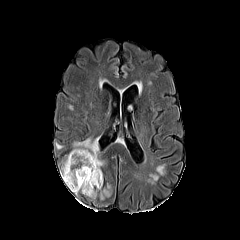
FLAIR magnetic resonance.
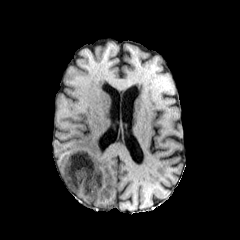
T1-weighted magnetic resonance.
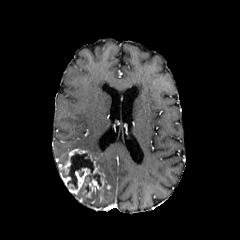
Post-contrast T1-weighted MR image.
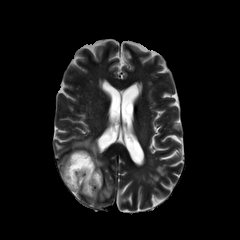
T2-weighted magnetic resonance of the same slice.
Head, Axial plane
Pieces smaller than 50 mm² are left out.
Segmented structures:
- enhancing tumor: bbox=[60, 148, 104, 197]
- necrotic tumor core: bbox=[62, 152, 94, 188]; bbox=[85, 174, 101, 186]
- peritumoral edema: bbox=[100, 189, 111, 199]; bbox=[73, 138, 104, 170]